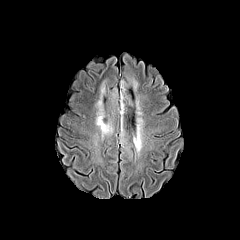
FLAIR MR.
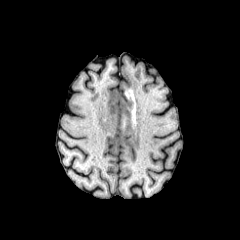
T1-weighted MR image.
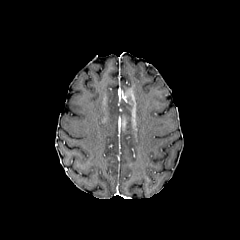
Post-contrast T1-weighted MR.
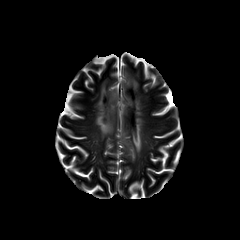
T2-weighted MR image of the same slice.
240x240 px | Axial slice | Brain
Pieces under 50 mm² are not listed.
{"peritumoral_edema": ["left=95, top=76, right=143, bottom=155"]}